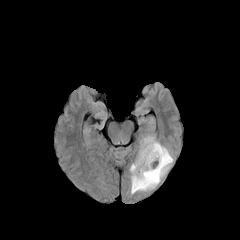
FLAIR MRI.
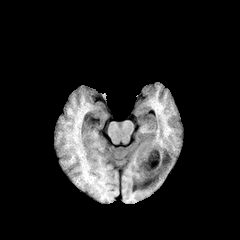
T1-weighted MRI.
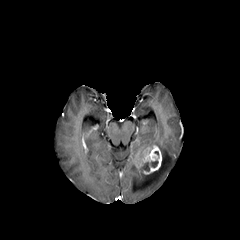
Post-contrast T1-weighted magnetic resonance.
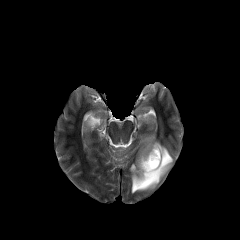
T2-weighted MR.
240x240 px. Axial slice.
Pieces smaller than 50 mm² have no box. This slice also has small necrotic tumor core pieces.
peritumoral edema at [129,135,173,194]
enhancing tumor at [136,145,162,174]